Slice 50/155 | Head
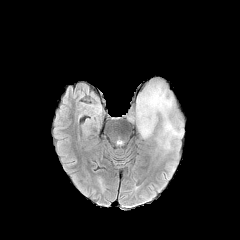
FLAIR MR image.
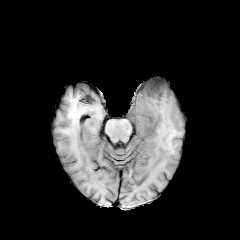
T1-weighted MR.
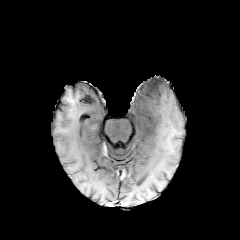
Same slice, post-contrast T1-weighted magnetic resonance.
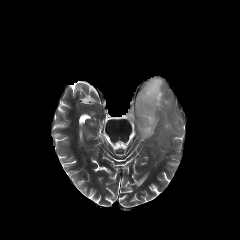
T2-weighted MRI.
* peritumoral edema: left=126, top=77, right=186, bottom=145